FLAIR MR.
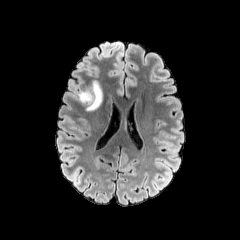
T1-weighted MR image.
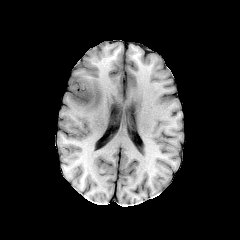
Post-contrast T1-weighted MRI.
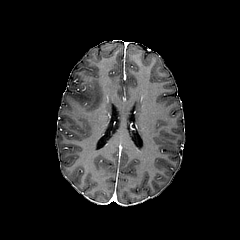
T2-weighted MR image.
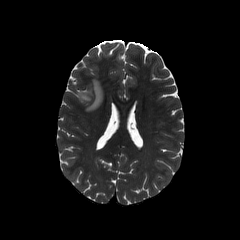
240x240 px | Head | Axial plane
peritumoral_edema:
  - 74, 80, 102, 111